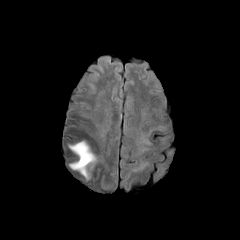
FLAIR magnetic resonance.
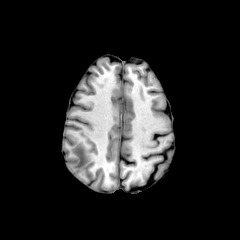
T1-weighted magnetic resonance of the same slice.
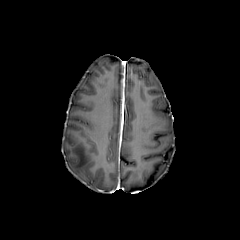
Post-contrast T1-weighted MR image.
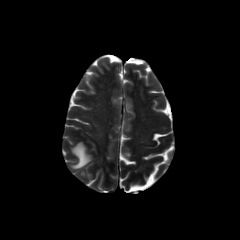
T2-weighted MRI.
Image size 240x240
The peritumoral edema is located at x1=70, y1=141, x2=95, y2=176.